FLAIR MR image.
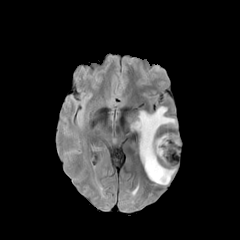
T1-weighted MR image.
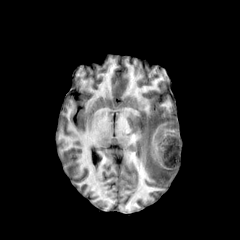
Post-contrast T1-weighted magnetic resonance.
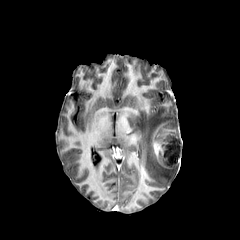
T2-weighted MR.
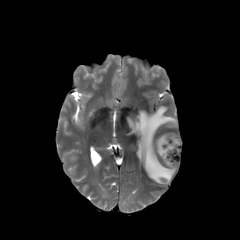
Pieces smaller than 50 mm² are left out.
The peritumoral edema is at (130,106,177,185). The necrotic tumor core lies within (159,136,180,165). The largest enhancing tumor region lies within (153,133,179,168).